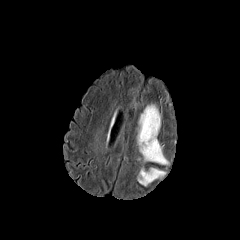
FLAIR MRI.
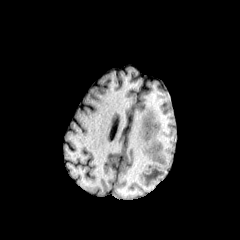
Same slice, T1-weighted magnetic resonance.
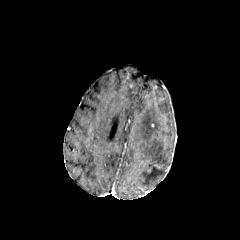
Post-contrast T1-weighted MR.
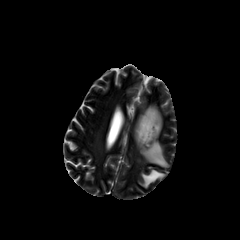
T2-weighted MR image.
Brain
2 peritumoral edema regions appear at rect(138, 168, 165, 186); rect(137, 105, 168, 164).